FLAIR MR.
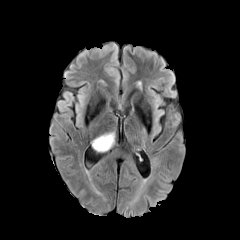
T1-weighted MR.
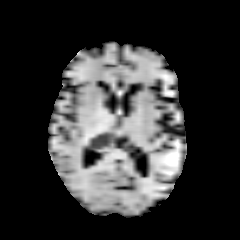
Post-contrast T1-weighted magnetic resonance.
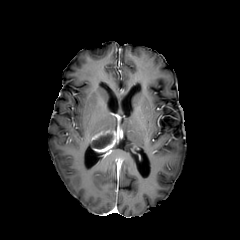
T2-weighted MR.
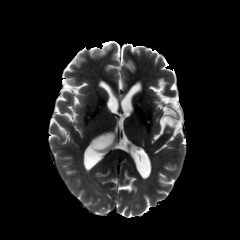
240x240 px
enhancing tumor: bounding box <bbox>91, 129, 117, 155</bbox>
necrotic tumor core: bounding box <bbox>93, 134, 111, 148</bbox>